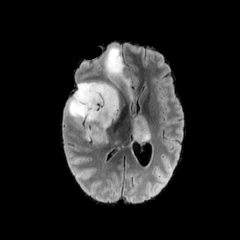
FLAIR MRI.
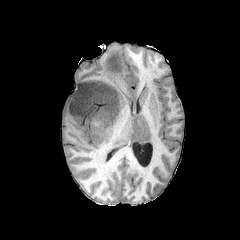
T1-weighted MR image of the same slice.
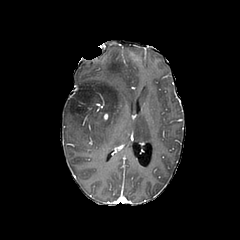
Post-contrast T1-weighted MRI.
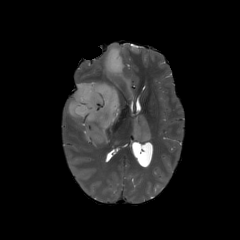
T2-weighted magnetic resonance.
Image size 240x240; Axial plane
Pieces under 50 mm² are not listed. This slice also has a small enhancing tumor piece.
peritumoral_edema:
  - box=[104, 46, 138, 101]
  - box=[130, 114, 152, 143]
  - box=[65, 80, 120, 147]